Image size 240x240. Axial view.
FLAIR MR.
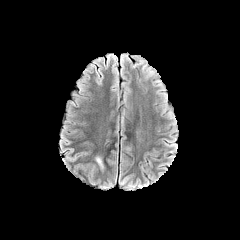
T1-weighted MR image.
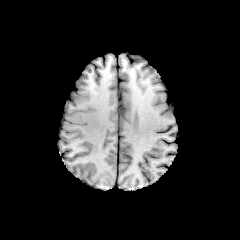
Post-contrast T1-weighted magnetic resonance.
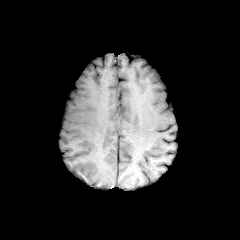
T2-weighted MR.
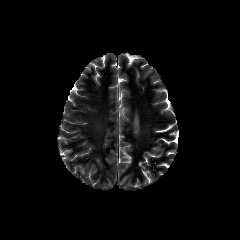
peritumoral edema: rect(94, 156, 104, 171)